Slice 31/155. 240x240. Image width 240 mm, 1.00 mm slice spacing.
FLAIR magnetic resonance.
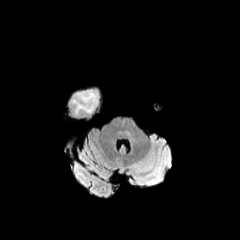
T1-weighted MR.
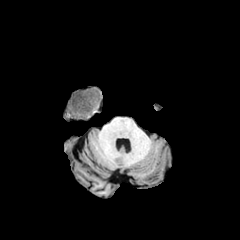
Post-contrast T1-weighted MR image.
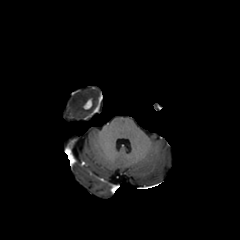
T2-weighted MR.
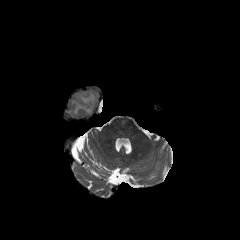
enhancing tumor at l=83, t=99, r=92, b=109
peritumoral edema at l=71, t=88, r=99, b=114